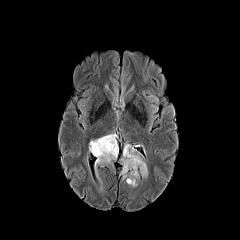
FLAIR magnetic resonance.
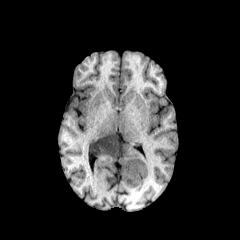
Same slice, T1-weighted magnetic resonance.
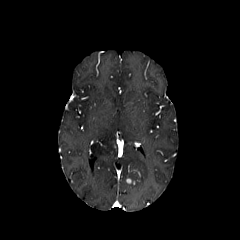
Post-contrast T1-weighted MR.
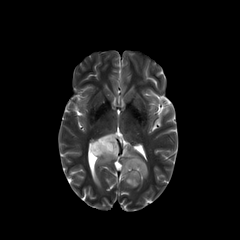
T2-weighted MRI.
Head. Axial slice.
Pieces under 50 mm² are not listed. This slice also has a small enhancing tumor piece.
2 peritumoral edema regions are bounded by [121, 144, 148, 187], [89, 133, 117, 165].